Slice index 64. Image width 240 mm.
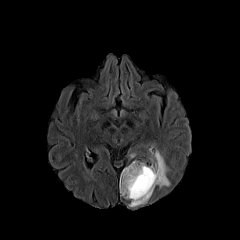
FLAIR MR.
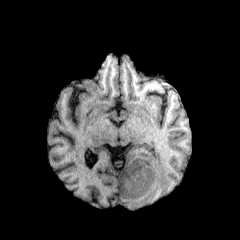
T1-weighted MR image.
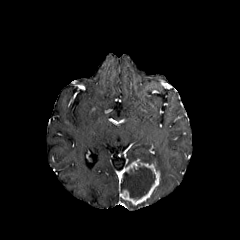
Post-contrast T1-weighted MR.
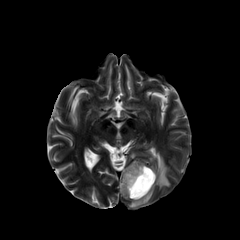
Same slice, T2-weighted magnetic resonance.
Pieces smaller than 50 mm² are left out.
enhancing tumor: bounding box 119:159:160:205
peritumoral edema: bounding box 149:150:170:188, 128:199:148:207
necrotic tumor core: bounding box 121:166:155:198